Image covers 240 mm x 240 mm. Slice 84/155.
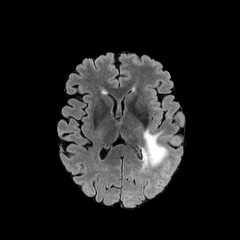
FLAIR MR image.
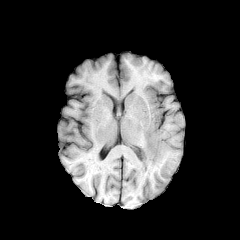
T1-weighted MR of the same slice.
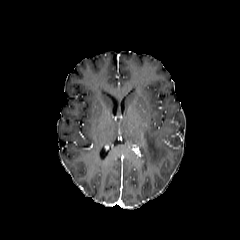
Post-contrast T1-weighted MR image of the same slice.
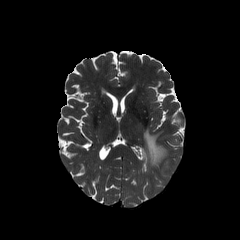
Same slice, T2-weighted MR image.
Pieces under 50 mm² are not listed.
peritumoral edema: bounding box [140, 128, 168, 172], [161, 160, 169, 177]